FLAIR MRI.
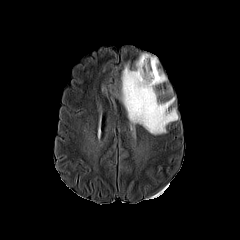
T1-weighted magnetic resonance.
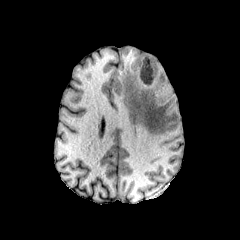
Post-contrast T1-weighted MR.
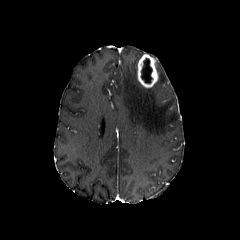
T2-weighted MRI.
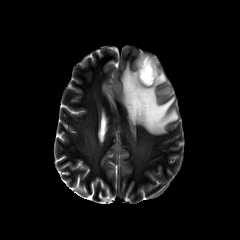
240x240 px; Axial plane
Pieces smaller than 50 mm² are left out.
{
  "enhancing_tumor": [
    "<box>137,53,158,87</box>"
  ],
  "peritumoral_edema": [
    "<box>121,62,178,135</box>"
  ],
  "necrotic_tumor_core": [
    "<box>141,58,152,83</box>"
  ]
}